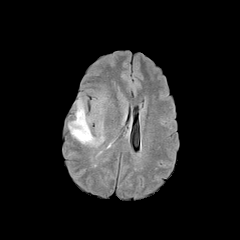
FLAIR magnetic resonance.
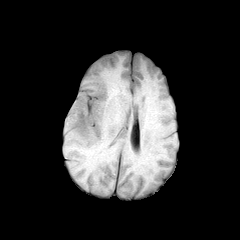
T1-weighted MRI of the same slice.
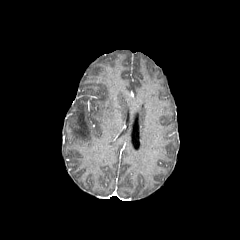
Same slice, post-contrast T1-weighted MR image.
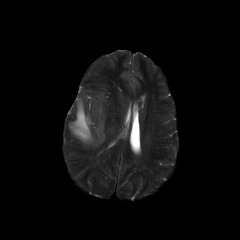
T2-weighted MR image of the same slice.
Brain; Axial slice
<segmentation>
  <peritumoral_edema>(x1=68, y1=99, x2=103, y2=145)</peritumoral_edema>
</segmentation>